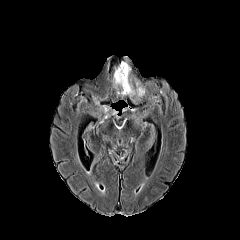
FLAIR magnetic resonance.
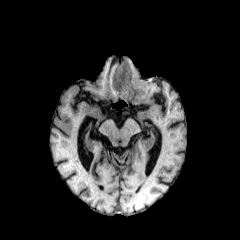
T1-weighted magnetic resonance.
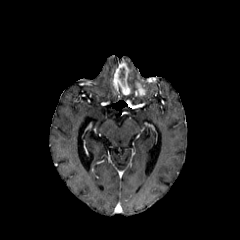
Post-contrast T1-weighted MRI of the same slice.
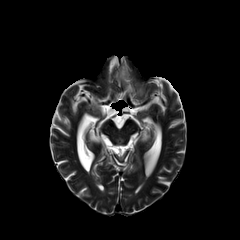
T2-weighted MRI.
Axial view, 240x240 px
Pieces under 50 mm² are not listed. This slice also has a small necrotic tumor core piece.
Findings:
* enhancing tumor: x1=112, y1=61, x2=131, y2=95; x1=136, y1=82, x2=145, y2=96
* peritumoral edema: x1=127, y1=74, x2=135, y2=96